240x240 px. Image width 240 mm, 1.00 mm slice spacing.
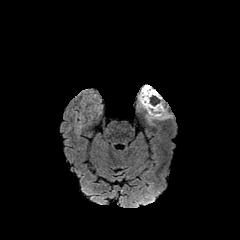
FLAIR magnetic resonance.
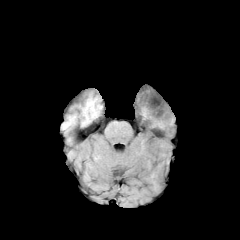
Same slice, T1-weighted MR.
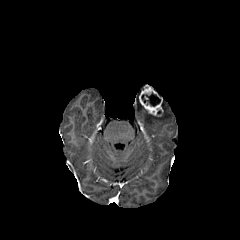
Same slice, post-contrast T1-weighted MR.
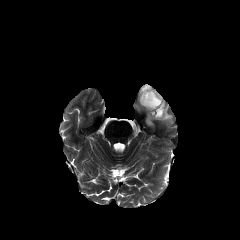
T2-weighted magnetic resonance of the same slice.
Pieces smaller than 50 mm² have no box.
The largest peritumoral edema region is bounded by box(146, 99, 173, 125). The enhancing tumor lies within box(139, 85, 163, 116). The largest necrotic tumor core region lies within box(149, 95, 160, 106).